FLAIR magnetic resonance.
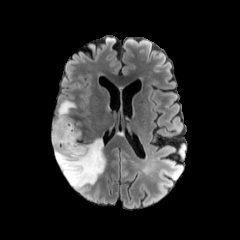
T1-weighted MR.
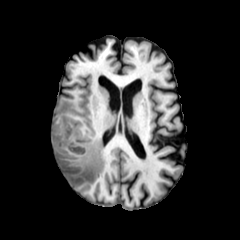
Post-contrast T1-weighted magnetic resonance.
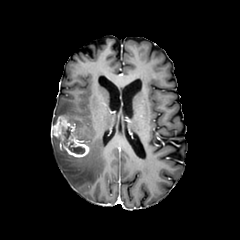
T2-weighted MR image.
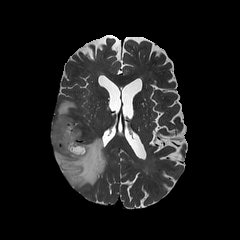
Brain, Axial slice, 240x240
necrotic tumor core — [68,142,84,153], [64,127,71,145]
peritumoral edema — [52,100,105,189]
enhancing tumor — [52,116,89,157]